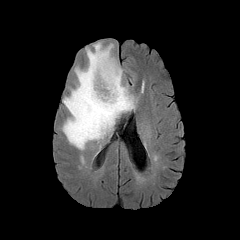
FLAIR MRI.
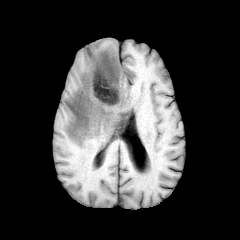
Same slice, T1-weighted MR image.
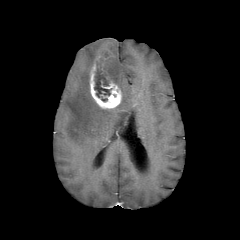
Same slice, post-contrast T1-weighted MR image.
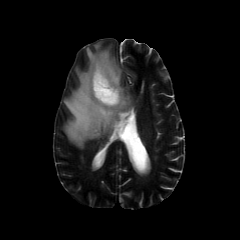
T2-weighted MR of the same slice.
Axial view; Brain
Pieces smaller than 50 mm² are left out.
necrotic tumor core: left=94, top=64, right=111, bottom=101 | peritumoral edema: left=62, top=42, right=136, bottom=149 | enhancing tumor: left=89, top=54, right=122, bottom=109